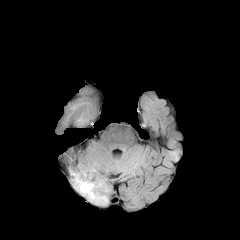
FLAIR MR.
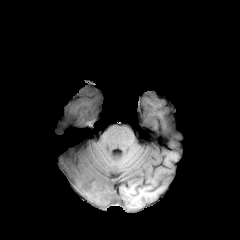
T1-weighted MR image of the same slice.
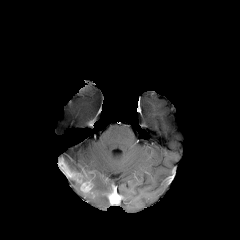
Same slice, post-contrast T1-weighted MR.
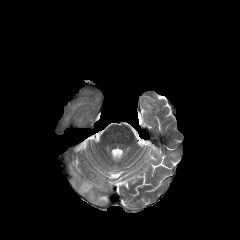
T2-weighted magnetic resonance.
Brain | Axial slice
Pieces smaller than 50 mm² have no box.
The largest peritumoral edema region appears at x1=71, y1=180, x2=107, y2=204. The enhancing tumor appears at x1=67, y1=170, x2=92, y2=193.